Slice index 52 | Image size 240x240 | Axial view
FLAIR MR.
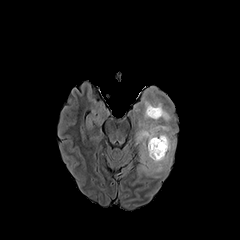
T1-weighted MR image.
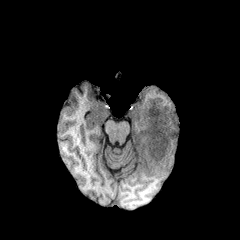
Post-contrast T1-weighted magnetic resonance.
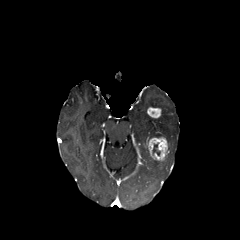
T2-weighted magnetic resonance.
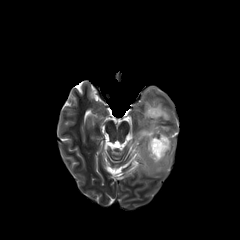
necrotic tumor core at left=153, top=144, right=160, bottom=155
enhancing tumor at left=147, top=137, right=167, bottom=160; left=147, top=107, right=161, bottom=118
peritumoral edema at left=135, top=88, right=175, bottom=174